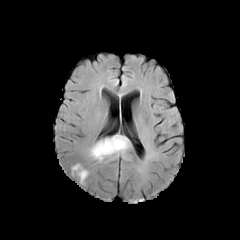
FLAIR MR image.
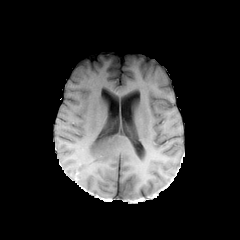
T1-weighted MR image.
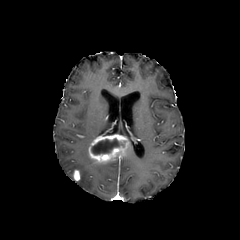
Post-contrast T1-weighted MR image of the same slice.
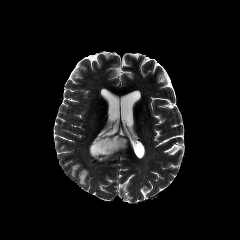
T2-weighted MR.
Axial view, Brain
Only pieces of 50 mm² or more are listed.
<segmentation>
  <peritumoral_edema>72,164,88,184</peritumoral_edema>
  <necrotic_tumor_core>91,139,123,154</necrotic_tumor_core>
  <enhancing_tumor>72,170,79,180; 88,134,130,162</enhancing_tumor>
</segmentation>